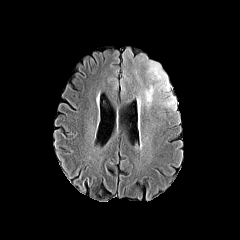
FLAIR MRI.
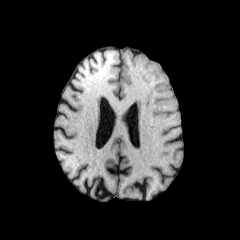
T1-weighted MR.
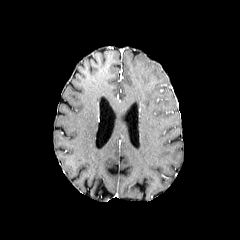
Post-contrast T1-weighted magnetic resonance.
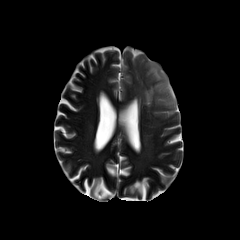
T2-weighted magnetic resonance of the same slice.
Head
peritumoral_edema:
  - [143,60,176,109]